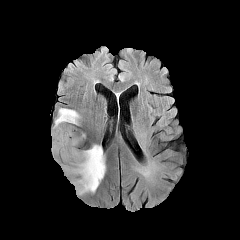
FLAIR MR.
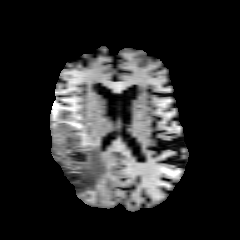
T1-weighted MR image of the same slice.
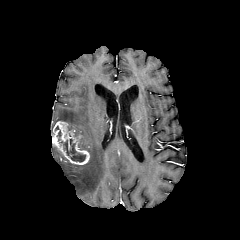
Post-contrast T1-weighted magnetic resonance of the same slice.
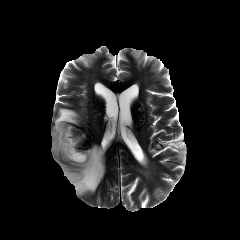
T2-weighted MR of the same slice.
Head | Axial slice
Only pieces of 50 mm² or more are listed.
• peritumoral edema: (left=54, top=108, right=80, bottom=124), (left=51, top=144, right=105, bottom=195)
• necrotic tumor core: (left=63, top=139, right=85, bottom=161)
• enhancing tumor: (left=52, top=121, right=89, bottom=164)